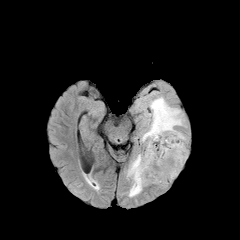
FLAIR magnetic resonance.
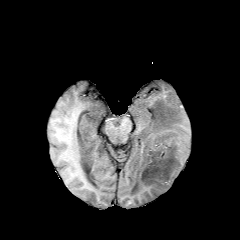
T1-weighted MR of the same slice.
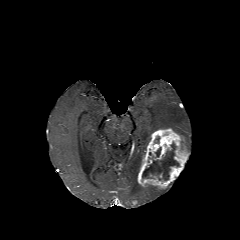
Post-contrast T1-weighted MR image.
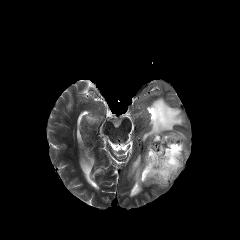
T2-weighted MR image.
Brain, Axial view
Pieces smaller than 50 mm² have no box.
The largest necrotic tumor core region appears at box(142, 143, 179, 180). 2 peritumoral edema regions are bounded by box(141, 97, 186, 145); box(127, 154, 142, 197). The largest enhancing tumor region is located at box(137, 128, 188, 188).